FLAIR MR image.
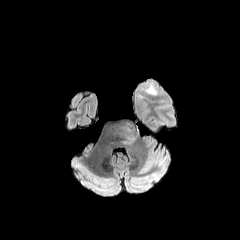
T1-weighted MR image.
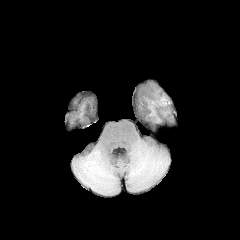
Post-contrast T1-weighted MR image.
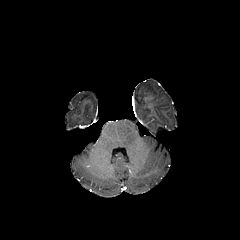
T2-weighted MR image.
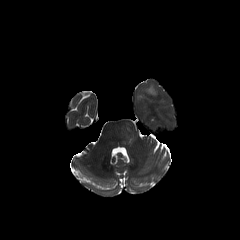
Image size 240x240; Brain; Axial slice
peritumoral edema — (147,85,155,94), (122,122,134,142)